FLAIR MRI.
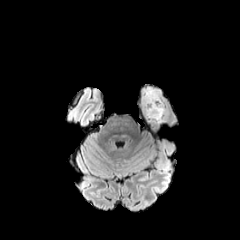
T1-weighted magnetic resonance.
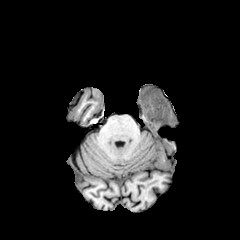
Post-contrast T1-weighted MR image.
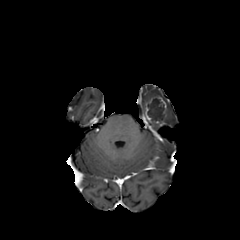
T2-weighted MRI.
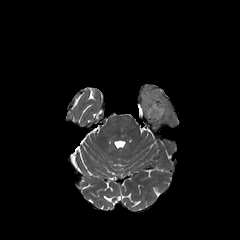
Axial view
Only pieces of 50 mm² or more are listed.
* necrotic tumor core: box(147, 98, 164, 121)
* enhancing tumor: box(142, 96, 167, 125)
* peritumoral edema: box(140, 87, 162, 115)